Head, Image covers 240 mm x 240 mm, Axial plane
FLAIR MRI.
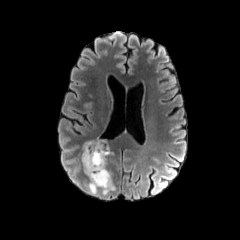
T1-weighted magnetic resonance.
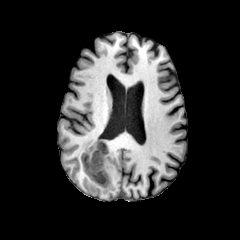
Post-contrast T1-weighted MR image.
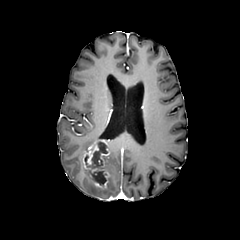
T2-weighted MR image.
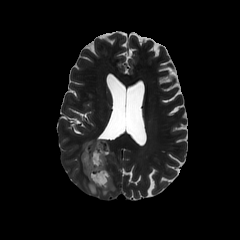
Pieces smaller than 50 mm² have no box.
The largest enhancing tumor region is bounded by box=[81, 139, 110, 188]. The 3 largest peritumoral edema regions appear at box=[102, 177, 114, 195]; box=[83, 141, 94, 150]; box=[88, 182, 97, 194]. The largest necrotic tumor core region is at box=[87, 142, 107, 185].